Slice index 132.
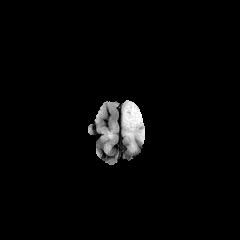
FLAIR MR image.
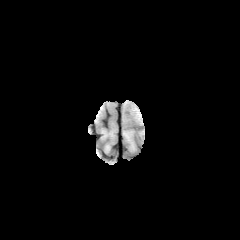
T1-weighted MR.
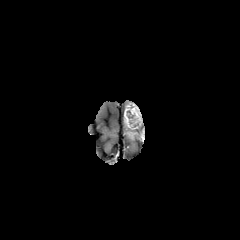
Post-contrast T1-weighted MR image.
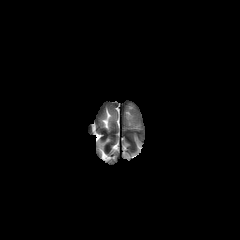
T2-weighted magnetic resonance.
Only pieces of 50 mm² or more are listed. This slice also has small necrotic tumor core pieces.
enhancing tumor: box=[124, 104, 141, 129]